FLAIR MR image.
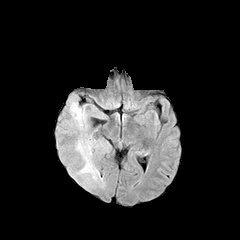
T1-weighted MR image.
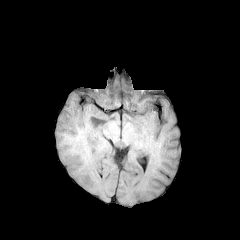
Post-contrast T1-weighted MR image.
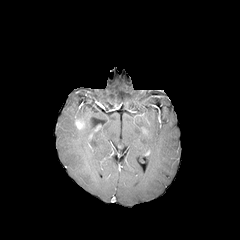
T2-weighted MR.
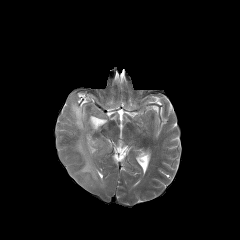
Head
enhancing_tumor:
  - (75, 120, 84, 129)
peritumoral_edema:
  - (69, 100, 105, 187)